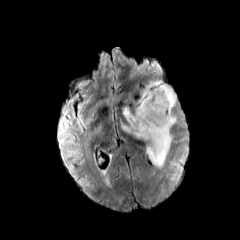
FLAIR MR.
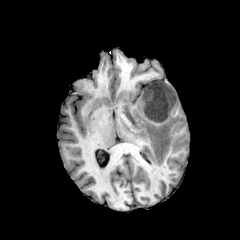
T1-weighted MR image.
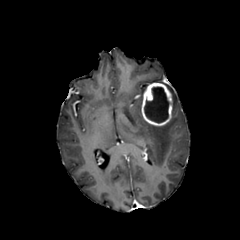
Post-contrast T1-weighted MR.
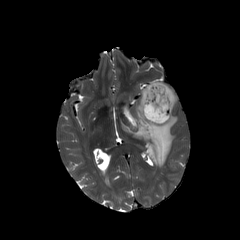
T2-weighted MR of the same slice.
Image size 240x240 | Head
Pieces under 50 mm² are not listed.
enhancing tumor = {"x1": 141, "y1": 82, "x2": 172, "y2": 126}
peritumoral edema = {"x1": 168, "y1": 86, "x2": 176, "y2": 107}, {"x1": 122, "y1": 91, "x2": 177, "y2": 167}
necrotic tumor core = {"x1": 144, "y1": 87, "x2": 168, "y2": 122}